Axial plane. Slice index 93. Image size 240x240.
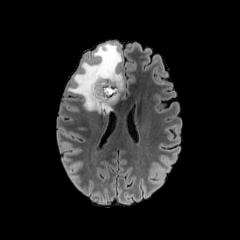
FLAIR magnetic resonance.
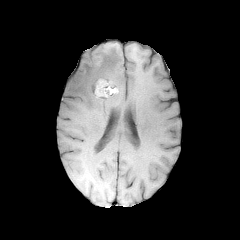
T1-weighted magnetic resonance.
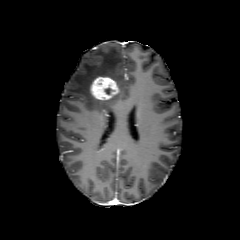
Post-contrast T1-weighted MR.
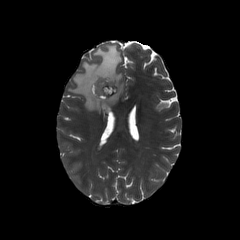
Same slice, T2-weighted MRI.
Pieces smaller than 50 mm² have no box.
necrotic tumor core: (left=96, top=79, right=115, bottom=95)
enhancing tumor: (left=90, top=76, right=119, bottom=100)
peritumoral edema: (left=67, top=43, right=124, bottom=113)